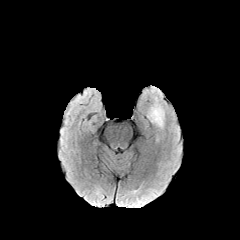
FLAIR magnetic resonance.
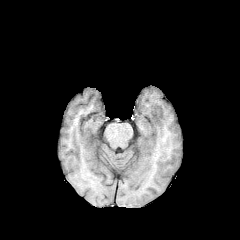
Same slice, T1-weighted MR.
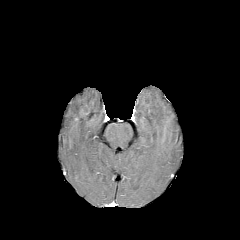
Post-contrast T1-weighted MR image.
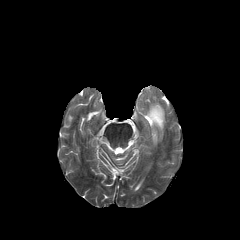
T2-weighted MR image.
Axial slice
<segmentation>
  <peritumoral_edema>(x1=148, y1=105, x2=163, y2=127)</peritumoral_edema>
</segmentation>